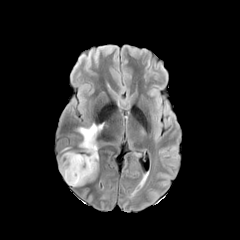
FLAIR magnetic resonance.
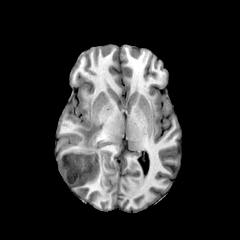
T1-weighted magnetic resonance of the same slice.
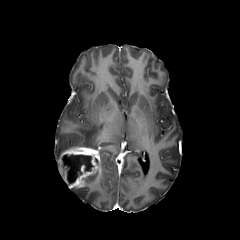
Post-contrast T1-weighted MRI.
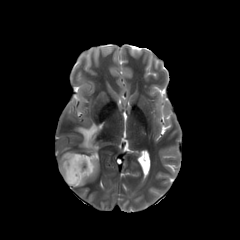
T2-weighted magnetic resonance of the same slice.
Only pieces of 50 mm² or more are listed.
Annotated regions:
- necrotic tumor core: <box>61,154,93,184</box>
- peritumoral edema: <box>77,123,103,149</box>
- enhancing tumor: <box>58,146,99,188</box>